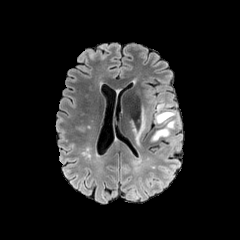
FLAIR MR image.
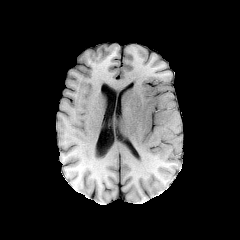
T1-weighted MR image.
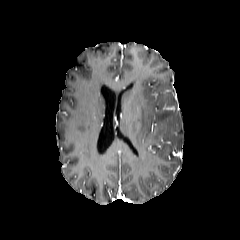
Same slice, post-contrast T1-weighted magnetic resonance.
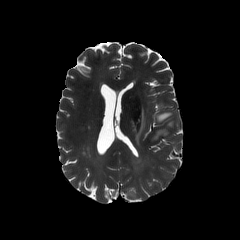
T2-weighted MR image.
Axial slice, Head
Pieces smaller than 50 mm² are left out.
peritumoral edema at 134:109:145:144, 151:115:178:141, 156:111:175:123